Slice 24 of 155.
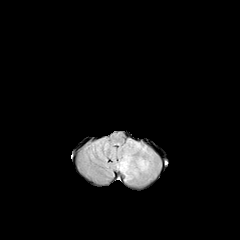
FLAIR MR image.
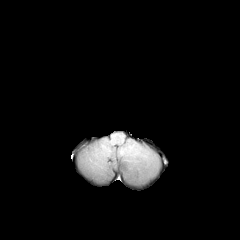
T1-weighted MRI of the same slice.
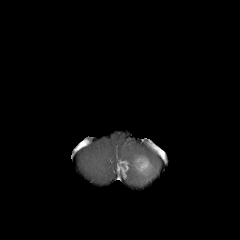
Post-contrast T1-weighted MR.
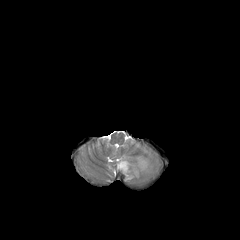
Same slice, T2-weighted magnetic resonance.
The peritumoral edema appears at [x1=113, y1=140, x2=159, y2=182]. 2 enhancing tumor regions are bounded by [x1=133, y1=156, x2=152, y2=175], [x1=117, y1=160, x2=128, y2=175].